FLAIR magnetic resonance.
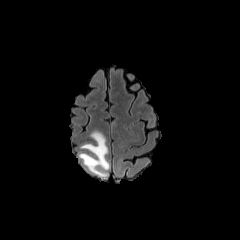
T1-weighted magnetic resonance.
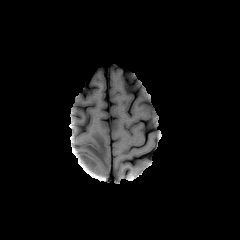
Post-contrast T1-weighted MR image.
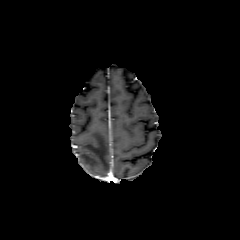
T2-weighted MRI.
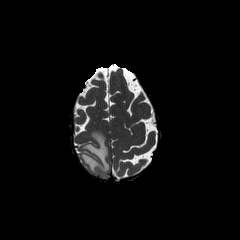
Axial plane, 240x240 px
peritumoral edema — x1=79 y1=131 x2=110 y2=177